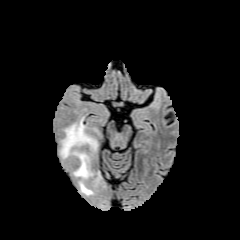
FLAIR MR.
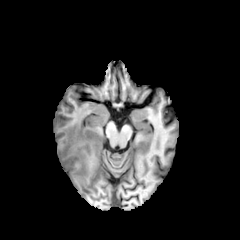
T1-weighted magnetic resonance.
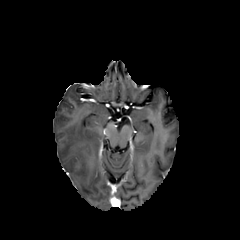
Same slice, post-contrast T1-weighted MR.
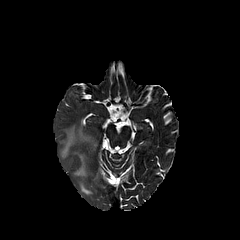
T2-weighted MRI.
Axial view, Head
The peritumoral edema is located at left=60, top=118, right=98, bottom=195.